Axial view, Image width 240 mm, 1.00 mm slice spacing, Slice index 65
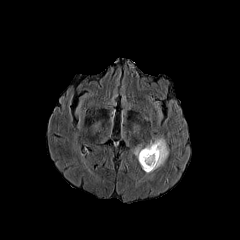
FLAIR MRI.
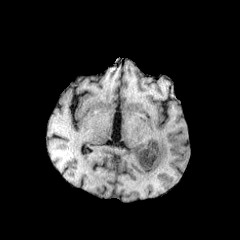
T1-weighted magnetic resonance.
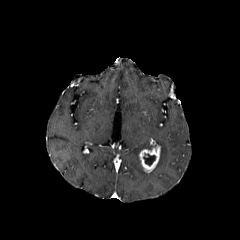
Same slice, post-contrast T1-weighted magnetic resonance.
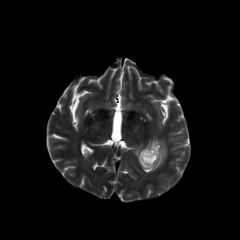
T2-weighted magnetic resonance.
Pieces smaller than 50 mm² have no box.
The largest enhancing tumor region lies within x1=139 y1=143 x2=160 y2=172. 2 peritumoral edema regions are bounded by x1=144 y1=138 x2=168 y2=173, x1=133 y1=145 x2=143 y2=169. The necrotic tumor core is located at x1=143 y1=153 x2=155 y2=166.